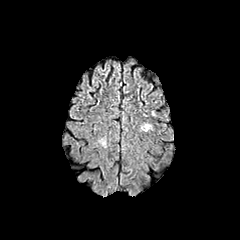
FLAIR MRI.
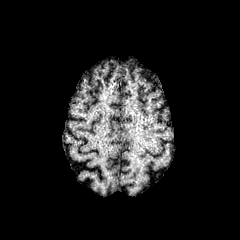
T1-weighted MRI.
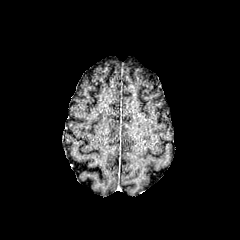
Post-contrast T1-weighted MR.
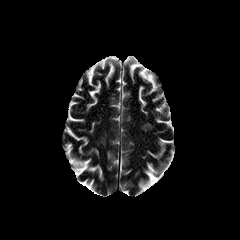
T2-weighted MR image of the same slice.
Brain. Axial plane.
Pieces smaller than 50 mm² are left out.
peritumoral_edema:
  - bbox(141, 123, 152, 131)